FLAIR magnetic resonance.
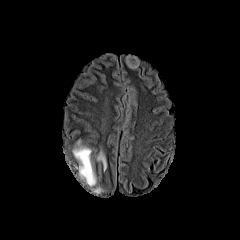
T1-weighted MRI.
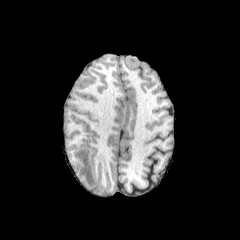
Post-contrast T1-weighted MR image.
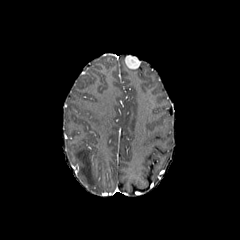
T2-weighted MR.
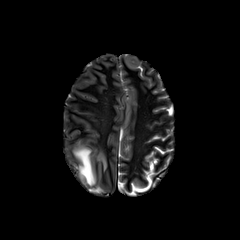
240x240 px.
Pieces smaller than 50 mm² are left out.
{"peritumoral_edema": ["left=98, top=153, right=106, bottom=169", "left=73, top=147, right=95, bottom=185"]}